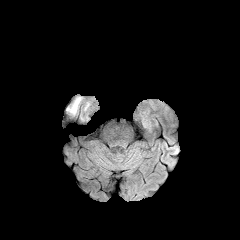
FLAIR MR.
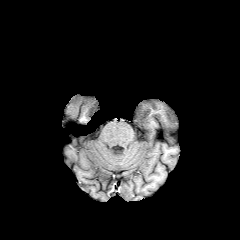
T1-weighted MR.
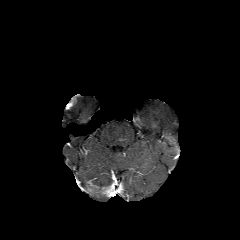
Post-contrast T1-weighted MRI.
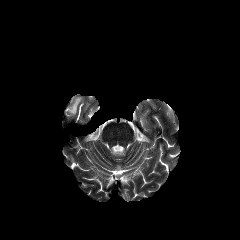
T2-weighted MR.
Axial view. 240x240 px.
The enhancing tumor lies within box(66, 96, 76, 109). 2 peritumoral edema regions are bounded by box(66, 96, 83, 116); box(83, 101, 90, 111).